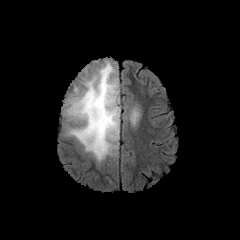
FLAIR magnetic resonance.
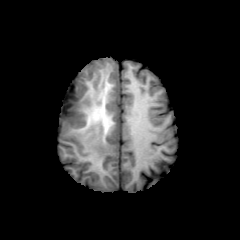
Same slice, T1-weighted MR image.
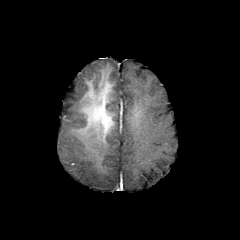
Same slice, post-contrast T1-weighted magnetic resonance.
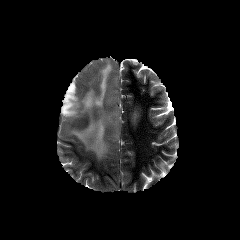
T2-weighted MR image.
Head
peritumoral edema: bounding box (131, 113, 138, 123), (62, 59, 120, 162)